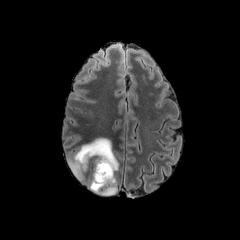
FLAIR MR image.
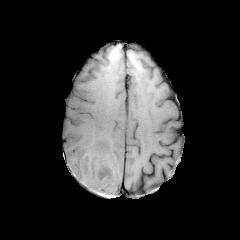
Same slice, T1-weighted MR image.
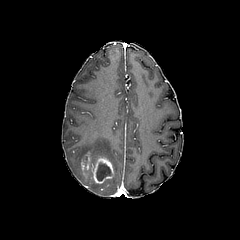
Post-contrast T1-weighted MR.
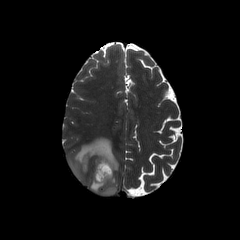
T2-weighted MR.
Axial slice. Head.
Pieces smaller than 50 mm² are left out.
• enhancing tumor: l=80, t=152, r=114, b=184
• necrotic tumor core: l=96, t=163, r=110, b=180
• peritumoral edema: l=68, t=138, r=118, b=195